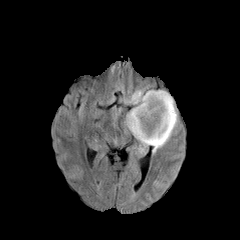
FLAIR MR image.
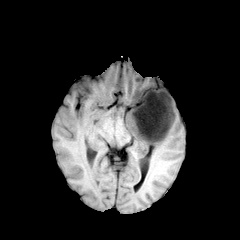
Same slice, T1-weighted MR.
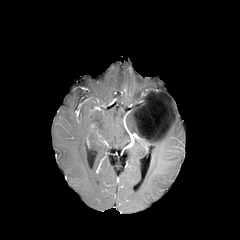
Post-contrast T1-weighted MRI of the same slice.
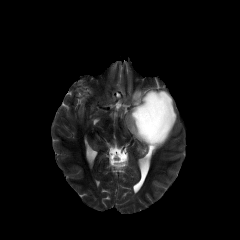
T2-weighted magnetic resonance.
Axial view. Head.
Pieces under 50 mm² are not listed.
Annotated regions:
- necrotic tumor core: region(134, 93, 172, 140)
- peritumoral edema: region(126, 89, 177, 153)
- enhancing tumor: region(137, 131, 166, 142); region(142, 91, 174, 123)